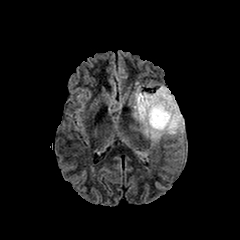
FLAIR magnetic resonance.
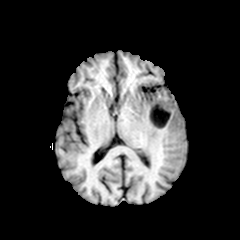
T1-weighted magnetic resonance.
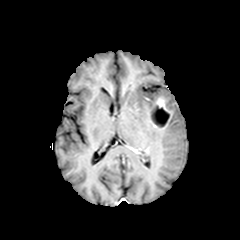
Post-contrast T1-weighted MR image of the same slice.
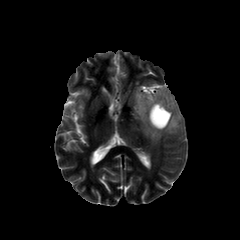
Same slice, T2-weighted MRI.
Brain
The necrotic tumor core lies within box(150, 105, 169, 127). The peritumoral edema is at box(133, 86, 184, 143). The enhancing tumor lies within box(148, 97, 172, 129).